FLAIR MR.
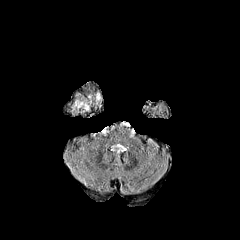
T1-weighted MRI.
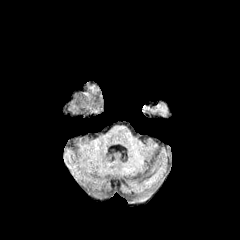
Post-contrast T1-weighted magnetic resonance.
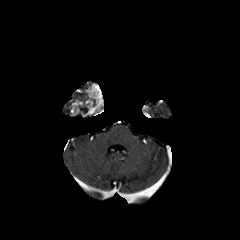
T2-weighted MR image.
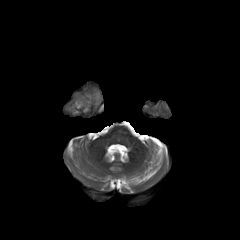
240x240, Head
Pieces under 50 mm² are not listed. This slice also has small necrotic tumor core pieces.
enhancing tumor: 70,84,102,115